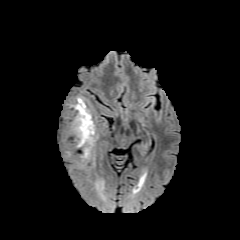
FLAIR MR image.
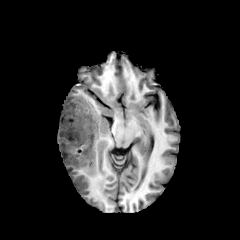
T1-weighted magnetic resonance of the same slice.
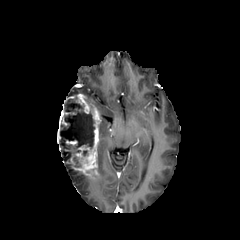
Post-contrast T1-weighted MR of the same slice.
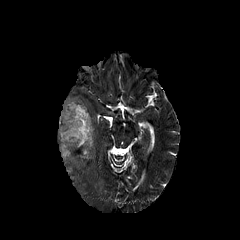
Same slice, T2-weighted MR image.
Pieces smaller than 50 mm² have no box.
necrotic_tumor_core:
  - 60:97:94:159
peritumoral_edema:
  - 95:179:104:190
enhancing_tumor:
  - 57:94:100:178
  - 66:140:77:145